Image covers 240 mm x 240 mm | Head
FLAIR MRI.
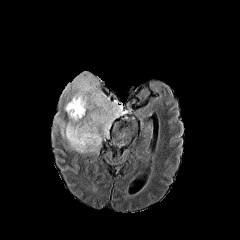
T1-weighted magnetic resonance.
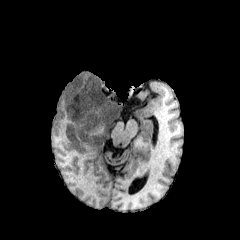
Post-contrast T1-weighted MR image.
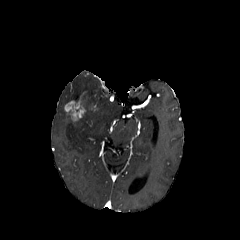
T2-weighted MR image.
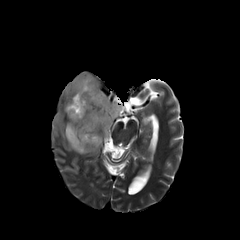
peritumoral edema: x1=56 y1=73 x2=121 y2=153
enhancing tumor: x1=64 y1=92 x2=97 y2=122